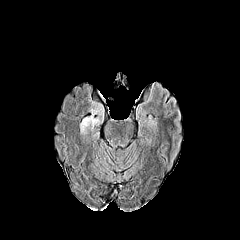
FLAIR MR image.
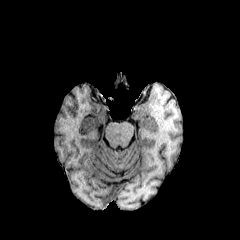
T1-weighted MR.
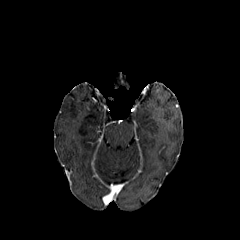
Post-contrast T1-weighted MRI of the same slice.
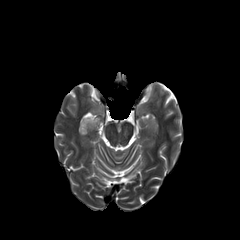
T2-weighted MR image.
Head. Axial slice.
peritumoral_edema:
  - <box>81,117,92,132</box>